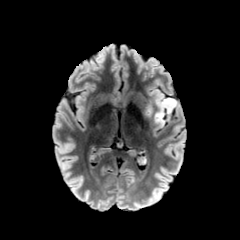
FLAIR MR.
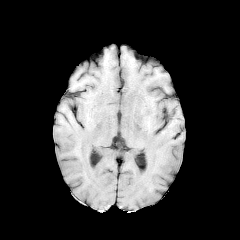
Same slice, T1-weighted magnetic resonance.
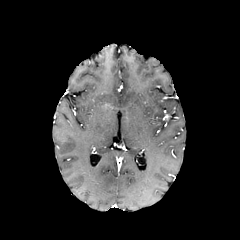
Post-contrast T1-weighted MRI.
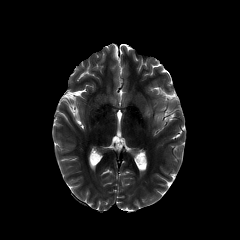
T2-weighted MR image.
Head
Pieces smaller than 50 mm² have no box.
{
  "peritumoral_edema": [
    "l=154, t=95, r=177, b=126"
  ]
}